FLAIR MR image.
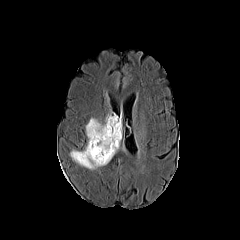
T1-weighted MR image.
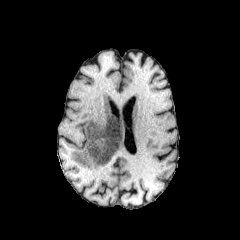
Post-contrast T1-weighted magnetic resonance.
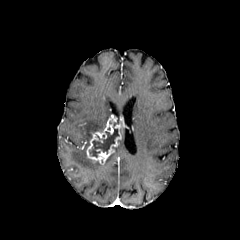
T2-weighted MRI.
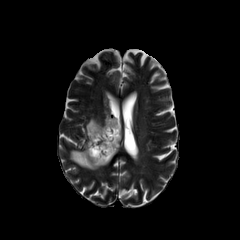
Image size 240x240 | Brain | Axial plane
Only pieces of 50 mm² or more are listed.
The largest necrotic tumor core region lies within bbox(89, 119, 119, 157). The largest peritumoral edema region appears at bbox(70, 114, 120, 169). The largest enhancing tumor region is at bbox(86, 116, 121, 164).